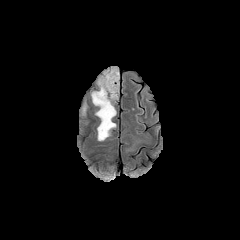
FLAIR MR image.
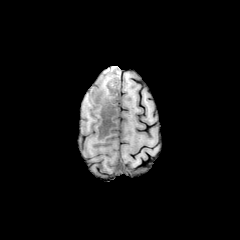
T1-weighted magnetic resonance.
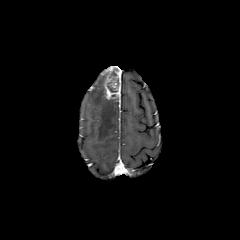
Post-contrast T1-weighted MR.
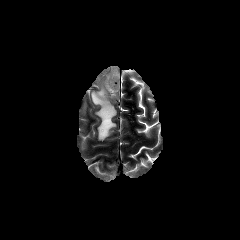
Same slice, T2-weighted MR image.
Axial view | Image size 240x240
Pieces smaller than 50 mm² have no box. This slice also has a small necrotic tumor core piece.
enhancing tumor = box=[103, 66, 119, 100]
peritumoral edema = box=[91, 73, 116, 140]; box=[79, 99, 88, 120]